Brain, Axial plane
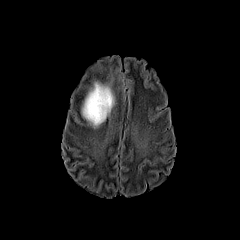
FLAIR MRI.
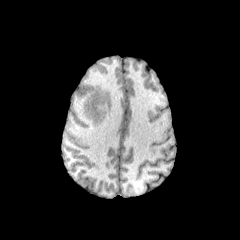
T1-weighted magnetic resonance.
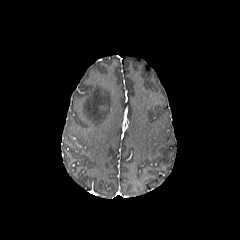
Post-contrast T1-weighted MRI.
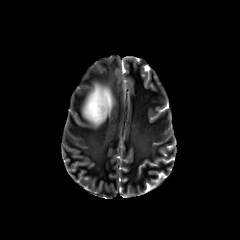
T2-weighted magnetic resonance.
{
  "peritumoral_edema": [
    "[80, 79, 114, 129]"
  ]
}